Head, Image width 240 mm, 1.00 mm slice spacing
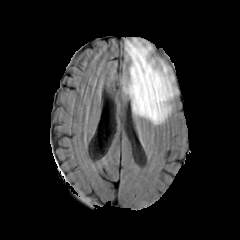
FLAIR MR image.
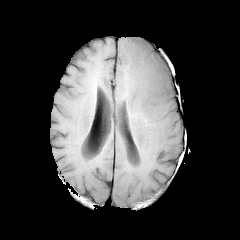
T1-weighted MRI of the same slice.
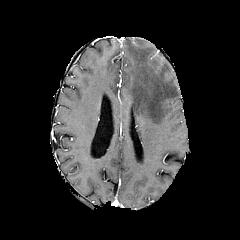
Same slice, post-contrast T1-weighted magnetic resonance.
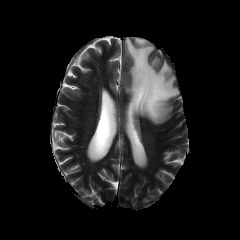
T2-weighted MR.
<segmentation>
  <peritumoral_edema>x1=123 y1=38 x2=176 y2=124</peritumoral_edema>
</segmentation>